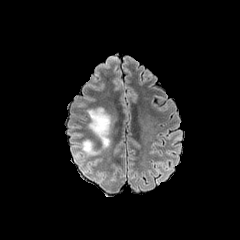
FLAIR MR image.
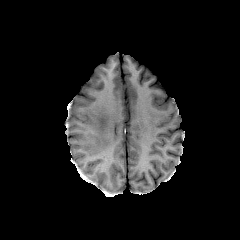
T1-weighted MR.
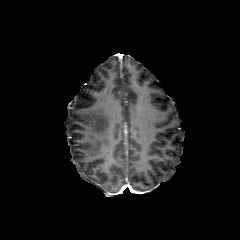
Post-contrast T1-weighted MR.
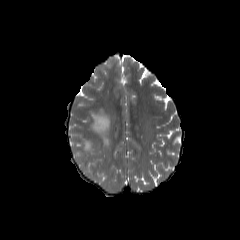
T2-weighted MR of the same slice.
Axial view
peritumoral edema: box(82, 140, 99, 155); box(88, 107, 110, 148)